Slice 84/155, Axial view
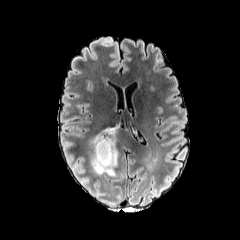
FLAIR MR image.
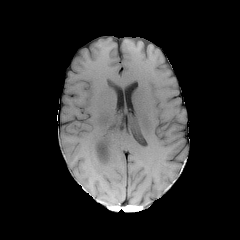
T1-weighted MR image.
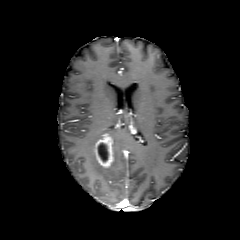
Same slice, post-contrast T1-weighted MR.
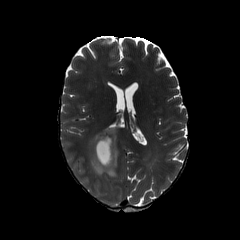
T2-weighted MR.
necrotic tumor core at x1=98, y1=143, x2=108, y2=161
enhancing tumor at x1=94, y1=133, x2=113, y2=168
peritumoral edema at x1=91, y1=128, x2=118, y2=176